Image size 240x240. Brain. Axial view. Slice index 120.
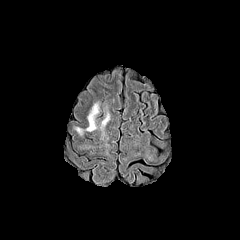
FLAIR MR.
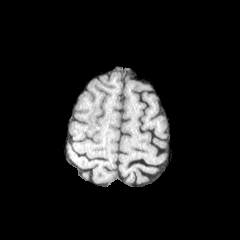
T1-weighted magnetic resonance.
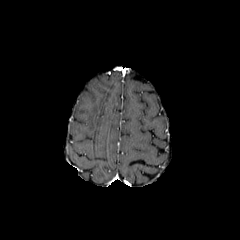
Post-contrast T1-weighted magnetic resonance.
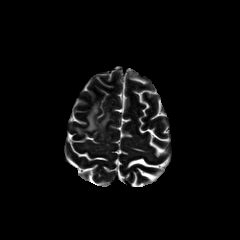
T2-weighted magnetic resonance.
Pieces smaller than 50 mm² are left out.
The 2 largest peritumoral edema regions are bounded by region(86, 103, 98, 131); region(101, 113, 109, 127).